FLAIR MR image.
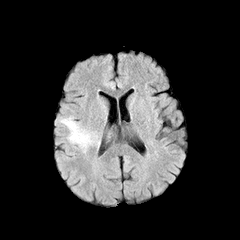
T1-weighted MR.
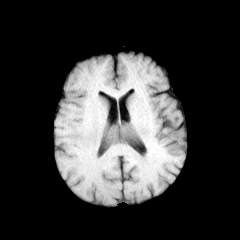
Post-contrast T1-weighted MRI.
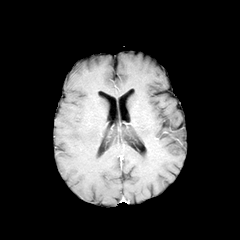
T2-weighted magnetic resonance.
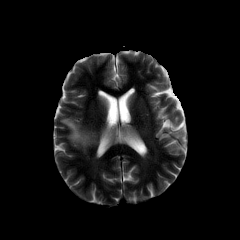
Axial slice
The peritumoral edema is at [61, 118, 93, 147].